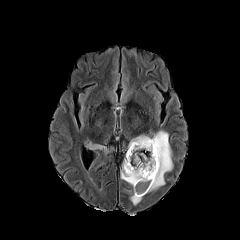
FLAIR magnetic resonance.
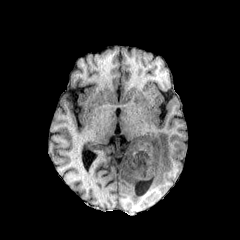
T1-weighted MR.
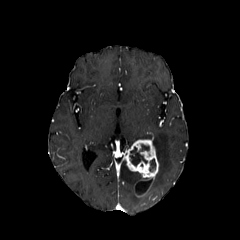
Post-contrast T1-weighted MR.
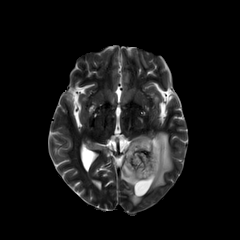
Same slice, T2-weighted MR.
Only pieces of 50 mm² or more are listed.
enhancing tumor: bounding box rect(124, 138, 159, 197)
necrotic tumor core: bounding box rect(130, 144, 149, 165); rect(136, 179, 152, 194); rect(149, 159, 155, 171)
peritumoral edema: bounding box rect(86, 142, 104, 150); rect(148, 131, 173, 192); rect(121, 161, 142, 205); rect(128, 135, 150, 147)